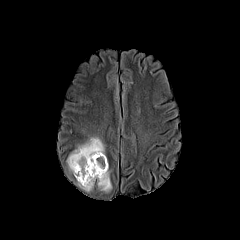
FLAIR magnetic resonance.
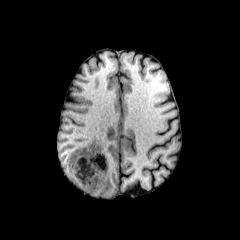
T1-weighted MRI.
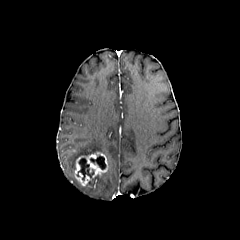
Post-contrast T1-weighted magnetic resonance.
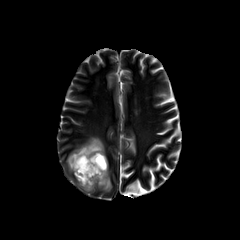
Same slice, T2-weighted MR image.
240x240
Segmented structures:
• enhancing tumor: 74:152:108:186
• necrotic tumor core: 77:158:93:180, 90:155:105:169
• peritumoral edema: 66:137:104:174, 77:169:112:192